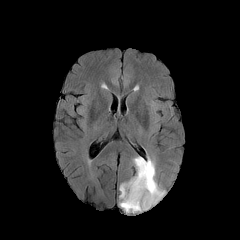
FLAIR MR.
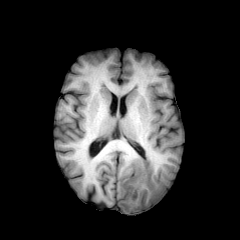
T1-weighted magnetic resonance of the same slice.
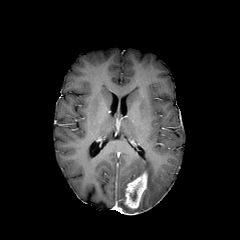
Post-contrast T1-weighted MR of the same slice.
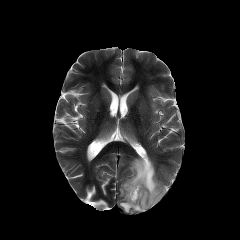
T2-weighted MR of the same slice.
240x240 px; Brain
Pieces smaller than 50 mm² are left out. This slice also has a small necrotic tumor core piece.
Findings:
* enhancing tumor: box=[124, 172, 147, 208]
* peritumoral edema: box=[119, 157, 165, 212]